FLAIR MR.
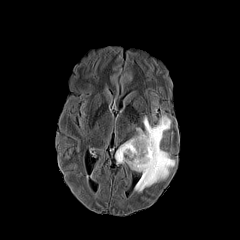
T1-weighted magnetic resonance.
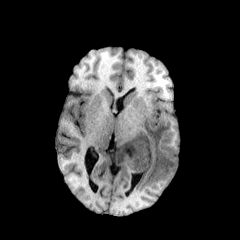
Post-contrast T1-weighted MR.
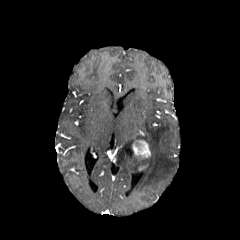
T2-weighted MR image.
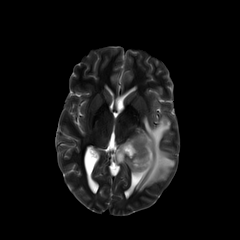
Brain | 240x240 px
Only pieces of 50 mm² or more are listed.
{
  "enhancing_tumor": [
    "<box>132,140,150,159</box>"
  ],
  "peritumoral_edema": [
    "<box>116,115,175,191</box>"
  ]
}